FLAIR magnetic resonance.
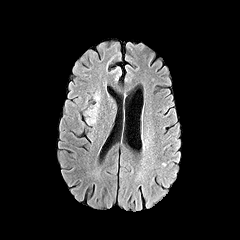
T1-weighted magnetic resonance.
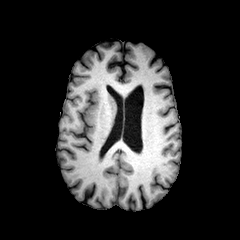
Post-contrast T1-weighted MR image.
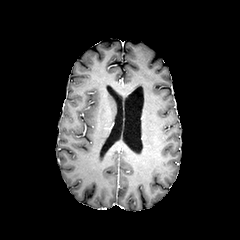
T2-weighted MRI.
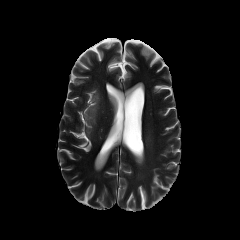
Image size 240x240; Axial slice
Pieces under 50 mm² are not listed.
peritumoral edema — 87, 103, 98, 123